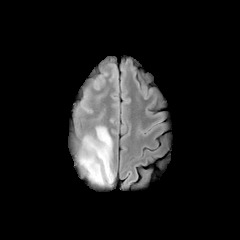
FLAIR magnetic resonance.
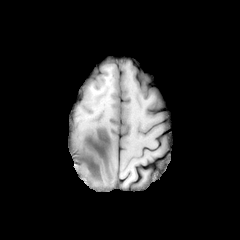
T1-weighted MR image.
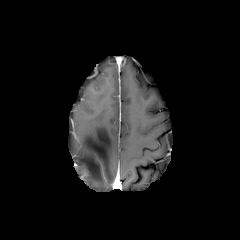
Post-contrast T1-weighted MR.
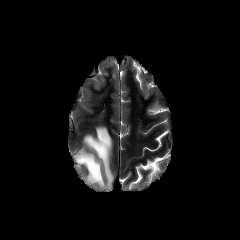
T2-weighted MRI.
Brain
peritumoral edema: (x1=77, y1=126, x2=113, y2=185)